Axial slice | Image size 240x240
FLAIR MRI.
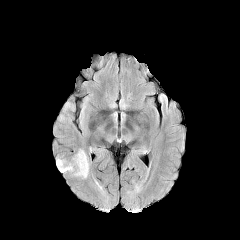
T1-weighted magnetic resonance.
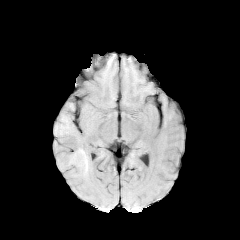
Post-contrast T1-weighted magnetic resonance.
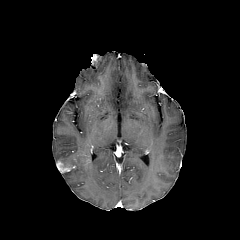
T2-weighted MR image.
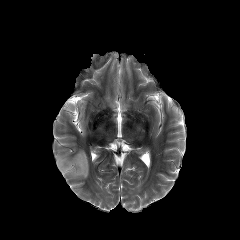
peritumoral edema = (left=56, top=149, right=89, bottom=178)
enhancing tumor = (left=56, top=161, right=73, bottom=172)